FLAIR MR image.
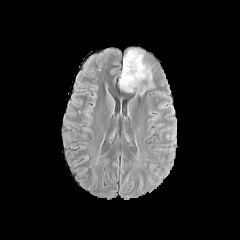
T1-weighted MRI.
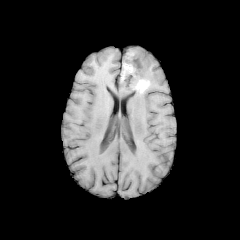
Post-contrast T1-weighted MRI.
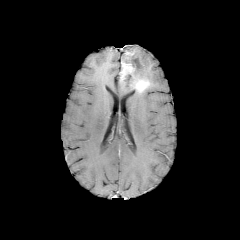
T2-weighted magnetic resonance.
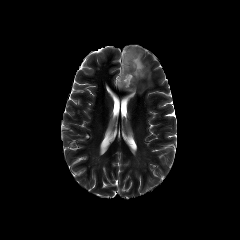
Axial view
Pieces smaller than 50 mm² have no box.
peritumoral edema at [128, 48, 151, 85], [119, 79, 134, 92]
necrotic tumor core at [121, 74, 133, 87], [123, 51, 142, 78]
enhancing tumor at [120, 62, 148, 91]